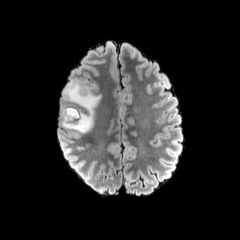
FLAIR magnetic resonance.
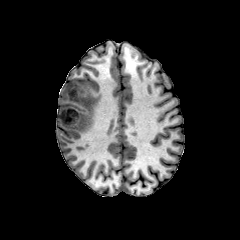
T1-weighted MRI.
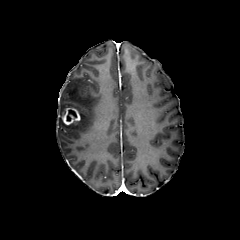
Post-contrast T1-weighted MRI of the same slice.
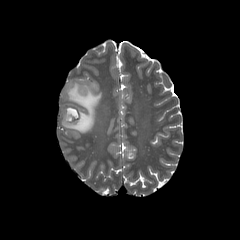
T2-weighted magnetic resonance.
Brain | Axial slice
enhancing_tumor:
  - [62, 107, 80, 125]
peritumoral_edema:
  - [60, 78, 101, 133]
necrotic_tumor_core:
  - [66, 109, 77, 121]